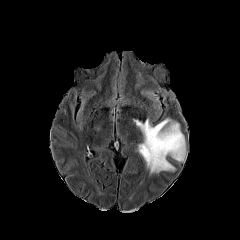
FLAIR MR image.
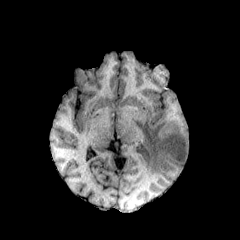
T1-weighted MR image of the same slice.
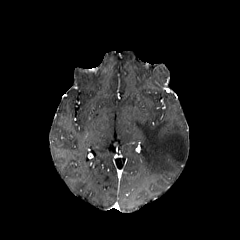
Post-contrast T1-weighted magnetic resonance.
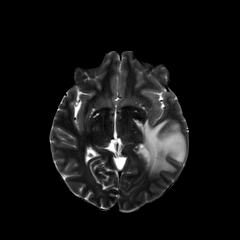
T2-weighted magnetic resonance.
The peritumoral edema appears at 134, 119, 186, 174.